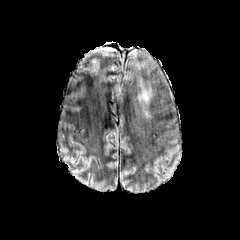
FLAIR MR image.
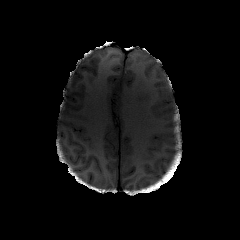
Same slice, T1-weighted MR image.
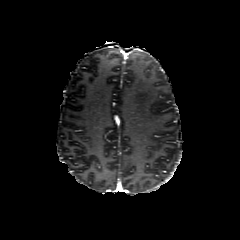
Post-contrast T1-weighted magnetic resonance.
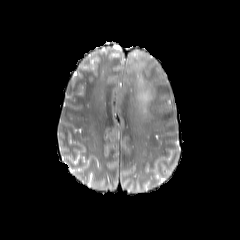
T2-weighted magnetic resonance of the same slice.
Brain
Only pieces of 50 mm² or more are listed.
Segmented structures:
• peritumoral edema: bbox=[136, 77, 153, 118]